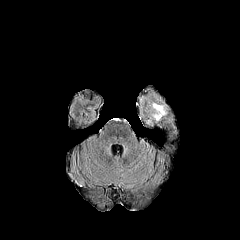
FLAIR magnetic resonance.
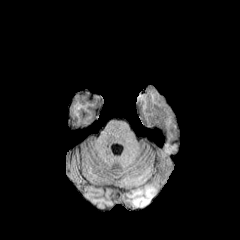
T1-weighted MRI.
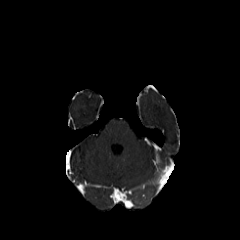
Post-contrast T1-weighted magnetic resonance.
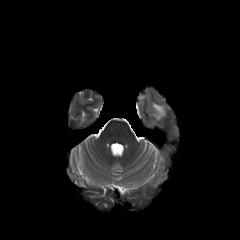
T2-weighted magnetic resonance.
Head
peritumoral edema at [152, 103, 165, 120]